FLAIR MR image.
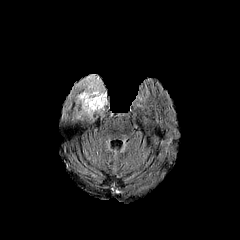
T1-weighted magnetic resonance.
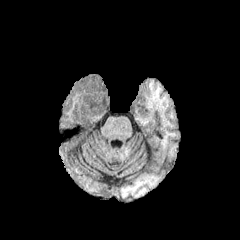
Post-contrast T1-weighted MR.
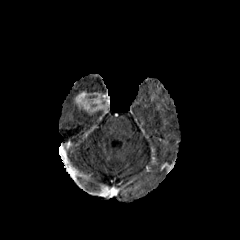
T2-weighted MR image.
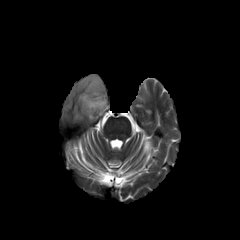
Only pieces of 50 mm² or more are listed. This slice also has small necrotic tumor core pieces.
The largest peritumoral edema region is at (76,74,106,92). The enhancing tumor appears at (75,91,109,114).